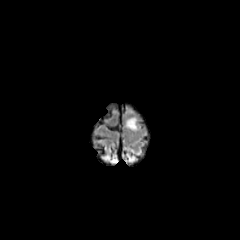
FLAIR MRI.
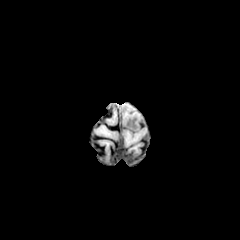
Same slice, T1-weighted MR image.
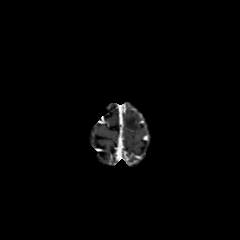
Post-contrast T1-weighted MR.
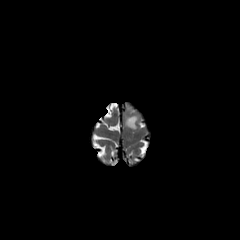
T2-weighted MR.
Brain
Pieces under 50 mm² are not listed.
peritumoral edema: 125:116:138:130